Slice 93/155. Axial slice.
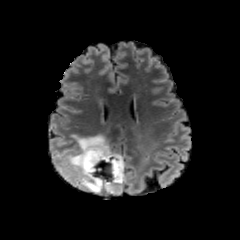
FLAIR MR image.
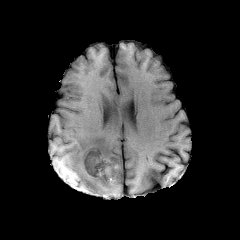
T1-weighted MR.
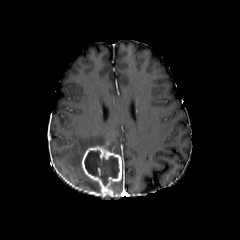
Post-contrast T1-weighted magnetic resonance.
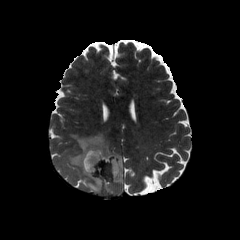
Same slice, T2-weighted MR image.
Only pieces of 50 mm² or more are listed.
peritumoral edema: (x1=113, y1=181, x2=122, y2=193), (x1=66, y1=134, x2=112, y2=192)
enhancing tumor: (x1=81, y1=146, x2=122, y2=194)
necrotic tumor core: (x1=84, y1=151, x2=119, y2=185)